FLAIR magnetic resonance.
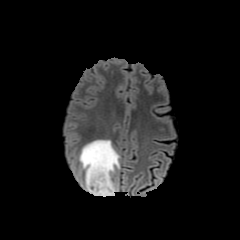
T1-weighted MR image.
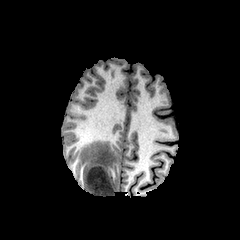
Post-contrast T1-weighted MR.
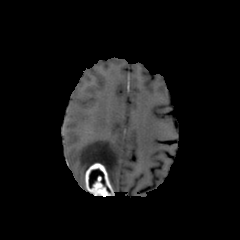
T2-weighted magnetic resonance.
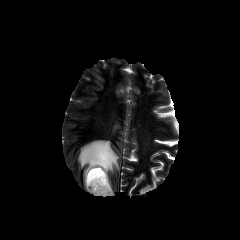
Head, Image size 240x240
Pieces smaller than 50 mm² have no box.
<segmentation>
  <enhancing_tumor>85:163:114:196</enhancing_tumor>
  <peritumoral_edema>79:140:120:191</peritumoral_edema>
  <necrotic_tumor_core>89:169:105:188</necrotic_tumor_core>
</segmentation>